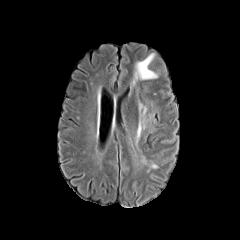
FLAIR MR image.
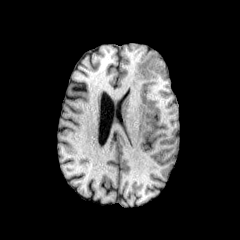
Same slice, T1-weighted MR image.
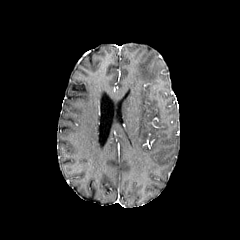
Post-contrast T1-weighted MR of the same slice.
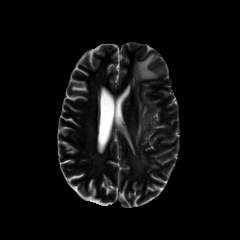
Same slice, T2-weighted MR image.
240x240 px; Head
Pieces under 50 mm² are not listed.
peritumoral_edema:
  - [x1=136, y1=119, x2=144, y2=141]
  - [x1=133, y1=54, x2=157, y2=84]
  - [x1=139, y1=104, x2=146, y2=116]